Axial view | Image width 240 mm | Head
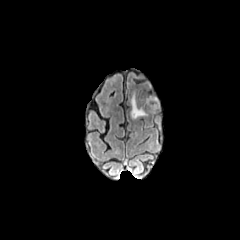
FLAIR MR.
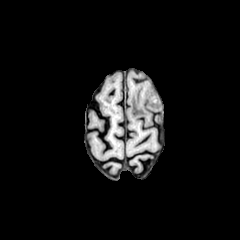
T1-weighted MR of the same slice.
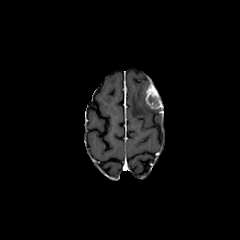
Post-contrast T1-weighted magnetic resonance of the same slice.
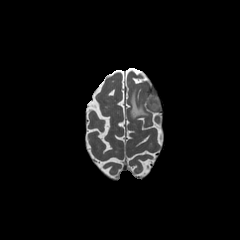
T2-weighted magnetic resonance.
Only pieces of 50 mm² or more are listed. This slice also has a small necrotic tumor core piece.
Findings:
* peritumoral edema: (130, 91, 147, 118)
* enhancing tumor: (145, 83, 161, 109)